Image width 240 mm; Slice 125 of 155; Axial view
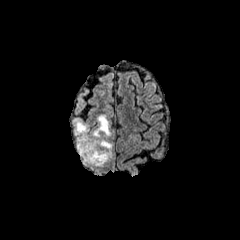
FLAIR MR.
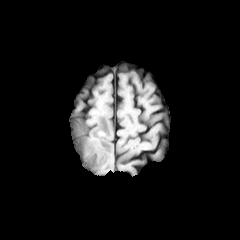
T1-weighted magnetic resonance.
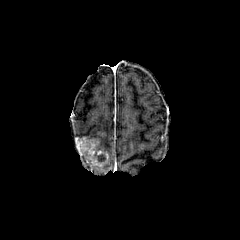
Post-contrast T1-weighted MRI.
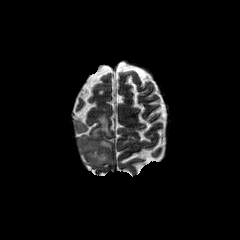
Same slice, T2-weighted magnetic resonance.
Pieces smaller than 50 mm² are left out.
The 2 largest peritumoral edema regions are located at x1=76, y1=120, x2=87, y2=137; x1=91, y1=115, x2=112, y2=161. The enhancing tumor is at x1=76, y1=136, x2=108, y2=166. The necrotic tumor core appears at x1=94, y1=152, x2=105, y2=161.